FLAIR MR.
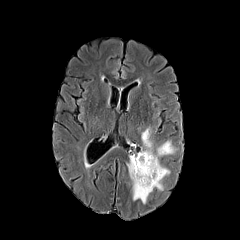
T1-weighted MRI.
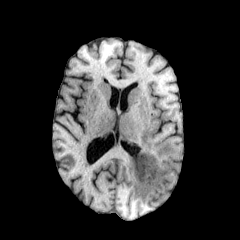
Post-contrast T1-weighted MR image.
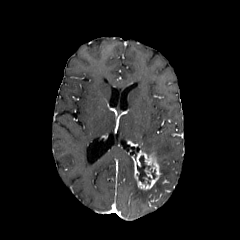
T2-weighted magnetic resonance.
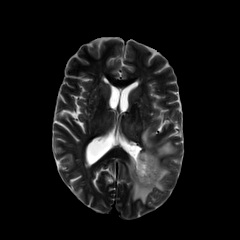
Brain. Axial slice.
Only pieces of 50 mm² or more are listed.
Segmented structures:
• necrotic tumor core: {"x1": 137, "y1": 155, "x2": 151, "y2": 184}
• peritumoral edema: {"x1": 141, "y1": 127, "x2": 153, "y2": 154}, {"x1": 127, "y1": 141, "x2": 176, "y2": 203}
• enhancing tumor: {"x1": 131, "y1": 150, "x2": 161, "y2": 190}